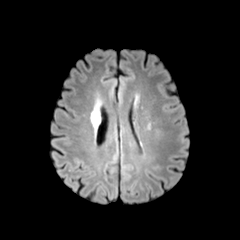
FLAIR MRI.
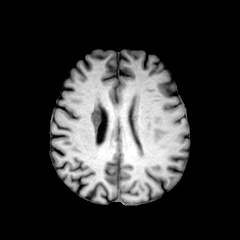
T1-weighted MRI.
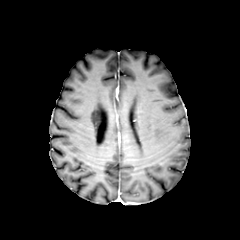
Post-contrast T1-weighted MR of the same slice.
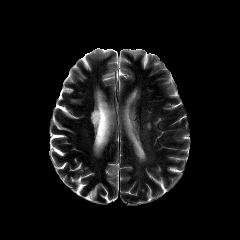
T2-weighted magnetic resonance.
Head. Axial slice. 240x240 px.
The peritumoral edema is located at 91 108 101 128.